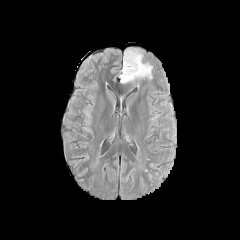
FLAIR MR.
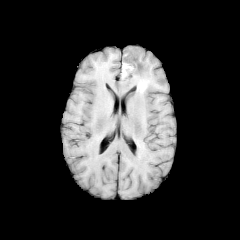
Same slice, T1-weighted MRI.
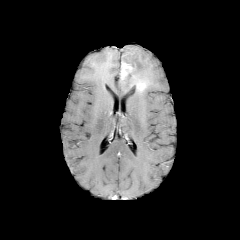
Post-contrast T1-weighted MR image.
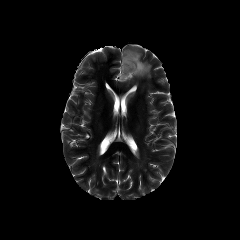
Same slice, T2-weighted magnetic resonance.
Image size 240x240, Head
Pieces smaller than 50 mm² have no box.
enhancing tumor: bbox=[120, 62, 133, 80] | peritumoral edema: bbox=[120, 48, 152, 83] | necrotic tumor core: bbox=[123, 52, 138, 81]